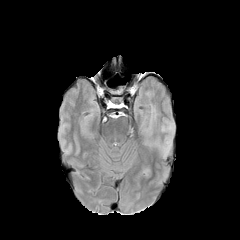
FLAIR magnetic resonance.
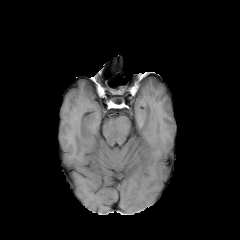
T1-weighted MR image of the same slice.
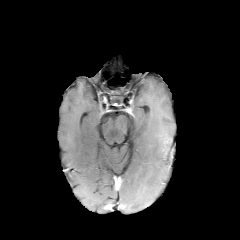
Post-contrast T1-weighted magnetic resonance.
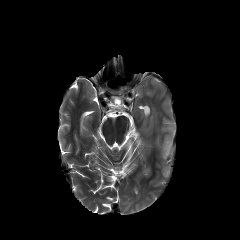
T2-weighted MR of the same slice.
240x240 px, Brain
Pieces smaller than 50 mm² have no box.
Annotated regions:
• peritumoral edema: [x1=161, y1=136, x2=171, y2=158]